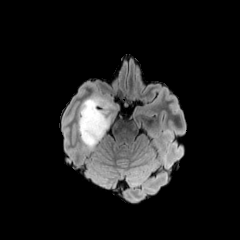
FLAIR MR.
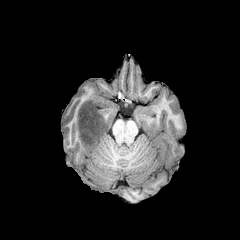
Same slice, T1-weighted magnetic resonance.
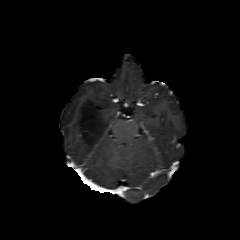
Post-contrast T1-weighted MR image.
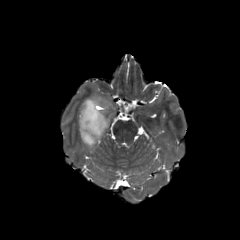
T2-weighted magnetic resonance.
Brain. Axial slice. 240x240.
The peritumoral edema is located at box=[78, 95, 120, 150].